FLAIR MR image.
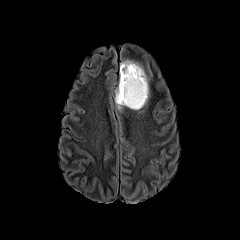
T1-weighted MRI.
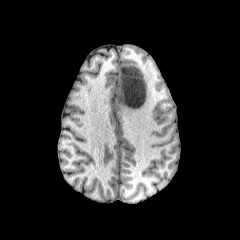
Post-contrast T1-weighted magnetic resonance.
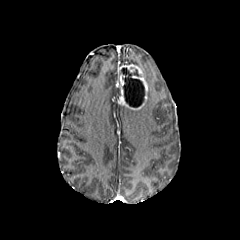
T2-weighted magnetic resonance.
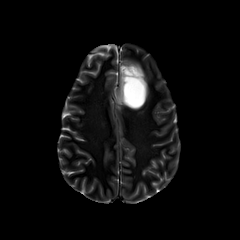
Image size 240x240; Brain
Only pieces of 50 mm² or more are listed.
enhancing tumor: (left=117, top=64, right=147, bottom=109) | peritumoral edema: (left=115, top=85, right=124, bottom=109), (left=120, top=60, right=149, bottom=98) | necrotic tumor core: (left=121, top=68, right=144, bottom=107)